Slice index 110, 240x240 px, Brain, Axial slice
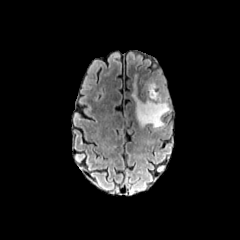
FLAIR MR.
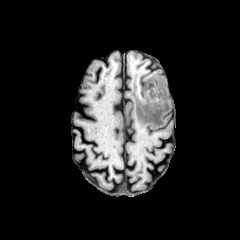
Same slice, T1-weighted magnetic resonance.
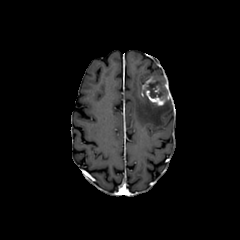
Same slice, post-contrast T1-weighted MRI.
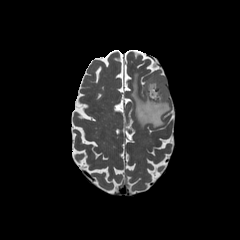
T2-weighted MR.
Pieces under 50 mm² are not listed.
peritumoral edema: 131:74:170:128 | necrotic tumor core: 146:81:166:97 | enhancing tumor: 141:76:170:106